FLAIR magnetic resonance.
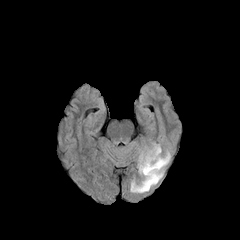
T1-weighted MR.
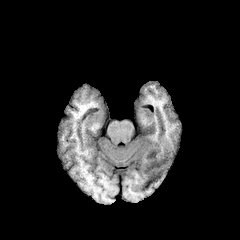
Post-contrast T1-weighted magnetic resonance.
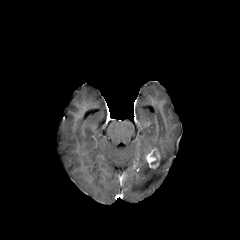
T2-weighted MR image.
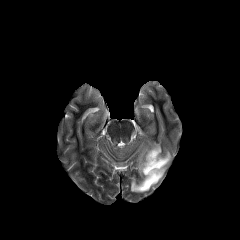
Axial slice; 240x240 px
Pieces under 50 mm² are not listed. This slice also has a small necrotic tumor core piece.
peritumoral edema: l=130, t=142, r=171, b=193
enhancing tumor: l=145, t=148, r=160, b=168